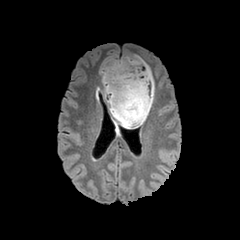
FLAIR MR.
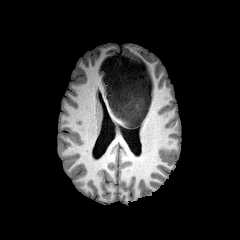
T1-weighted MRI.
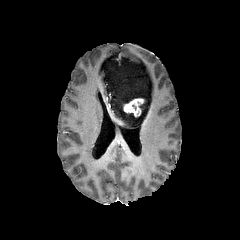
Post-contrast T1-weighted magnetic resonance.
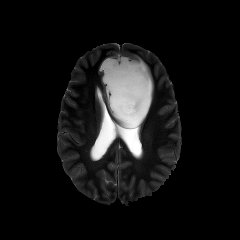
T2-weighted magnetic resonance.
Axial view, Brain
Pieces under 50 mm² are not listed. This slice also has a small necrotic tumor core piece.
<segmentation>
  <enhancing_tumor>(123,98,144,116)</enhancing_tumor>
  <peritumoral_edema>(100,56,154,127)</peritumoral_edema>
</segmentation>